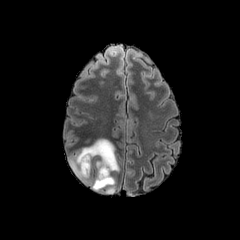
FLAIR MR image.
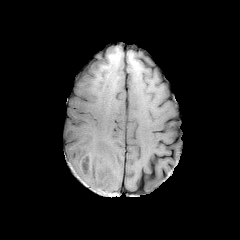
Same slice, T1-weighted MR image.
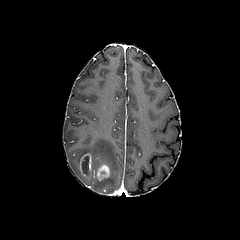
Post-contrast T1-weighted MR.
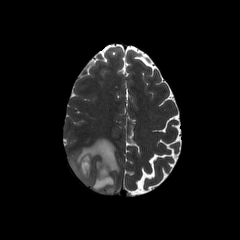
T2-weighted MRI of the same slice.
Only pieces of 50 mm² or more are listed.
necrotic tumor core: l=82, t=156, r=88, b=173 | peritumoral edema: l=68, t=138, r=119, b=193 | enhancing tumor: l=79, t=153, r=92, b=177; l=94, t=162, r=110, b=181